Head | 240x240
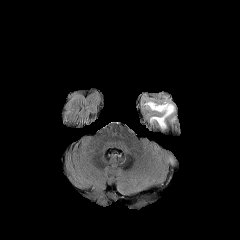
FLAIR MR image.
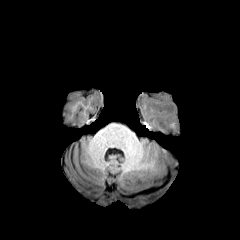
Same slice, T1-weighted MRI.
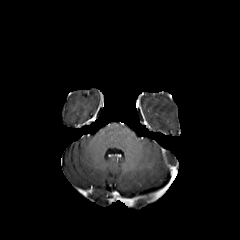
Post-contrast T1-weighted MRI of the same slice.
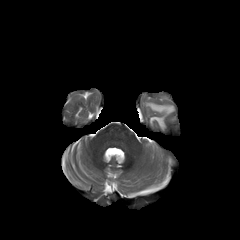
Same slice, T2-weighted MR image.
Findings:
- peritumoral edema: (left=151, top=116, right=164, bottom=126), (left=147, top=102, right=173, bottom=115)